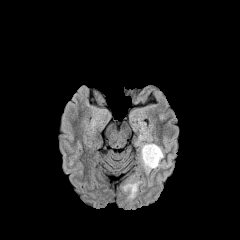
FLAIR MRI.
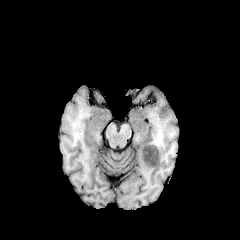
T1-weighted MRI of the same slice.
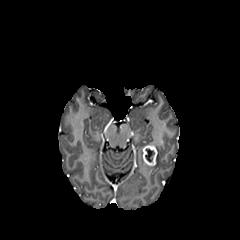
Post-contrast T1-weighted MR.
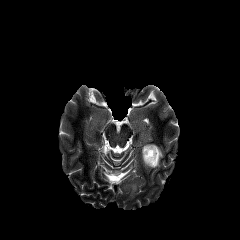
T2-weighted MR.
Axial view. Image size 240x240.
Annotated regions:
- peritumoral edema: <box>140,143,163,173</box>, <box>123,181,139,198</box>
- enhancing tumor: <box>142,145,157,166</box>
- necrotic tumor core: <box>145,149,154,162</box>